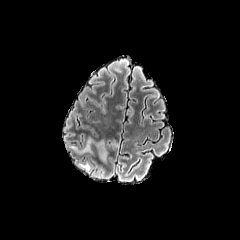
FLAIR MR image.
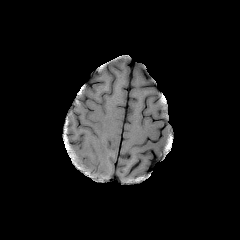
Same slice, T1-weighted magnetic resonance.
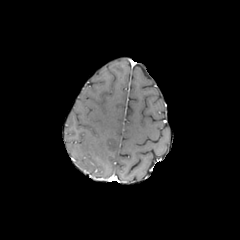
Post-contrast T1-weighted MR of the same slice.
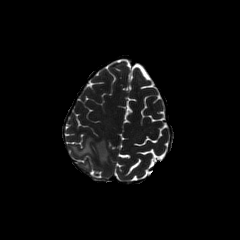
T2-weighted magnetic resonance.
Axial view, Image size 240x240
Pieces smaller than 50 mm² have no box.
The 3 largest peritumoral edema regions appear at box(81, 138, 92, 153); box(95, 140, 108, 162); box(79, 163, 89, 170).